FLAIR MR.
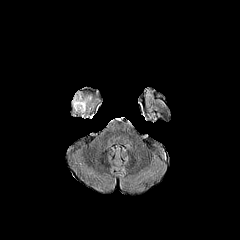
T1-weighted MR.
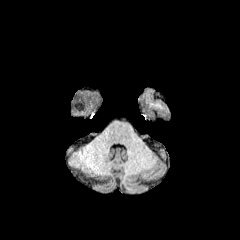
Post-contrast T1-weighted MR.
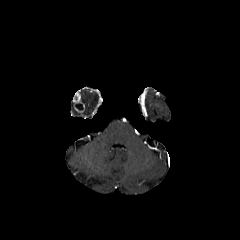
T2-weighted MRI.
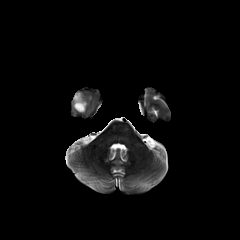
Image size 240x240; Axial view
necrotic tumor core: (75, 103, 83, 110)
peritumoral edema: (82, 96, 91, 106)
enhancing tumor: (73, 92, 84, 112)